FLAIR MRI.
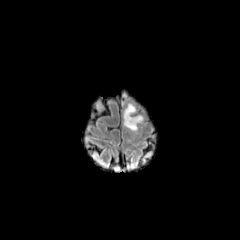
T1-weighted MR image.
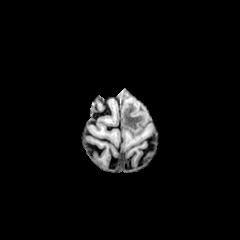
Post-contrast T1-weighted MRI.
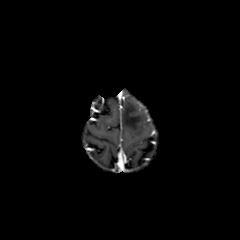
T2-weighted MR.
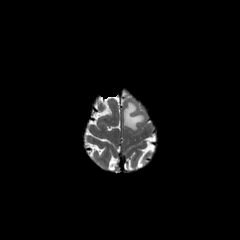
peritumoral edema: bounding box [123,103,144,131]